FLAIR MR image.
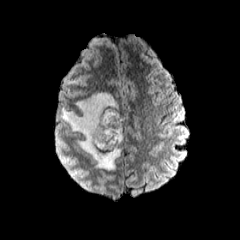
T1-weighted MR image.
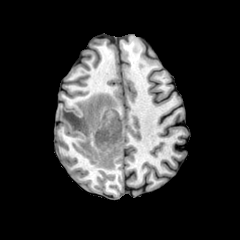
Post-contrast T1-weighted magnetic resonance.
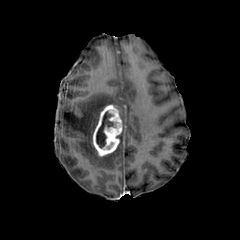
T2-weighted MR image.
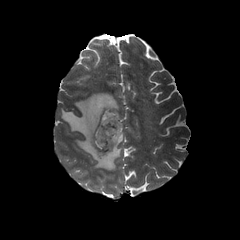
Brain
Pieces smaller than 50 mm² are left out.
The enhancing tumor lies within bbox(92, 104, 122, 156). The largest necrotic tumor core region is bounded by bbox(96, 111, 117, 148). The largest peritumoral edema region appears at bbox(61, 92, 121, 170).